Slice index 54. Brain. Axial slice.
FLAIR MRI.
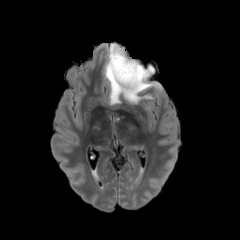
T1-weighted MR image.
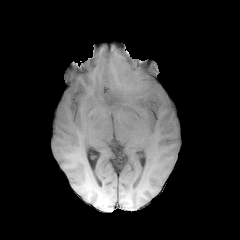
Post-contrast T1-weighted MR image.
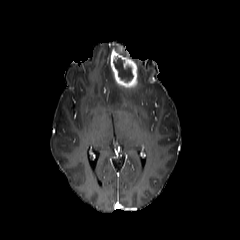
T2-weighted magnetic resonance.
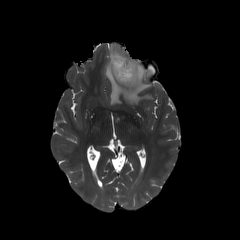
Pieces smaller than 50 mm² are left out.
peritumoral edema at left=104, top=44, right=161, bottom=104
enhancing tumor at left=110, top=48, right=138, bottom=89
necrotic tumor core at left=113, top=58, right=133, bottom=81